240x240 px, Axial plane, Head, Slice index 89
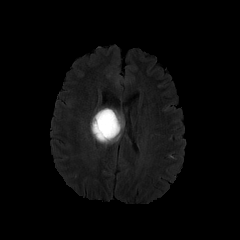
FLAIR magnetic resonance.
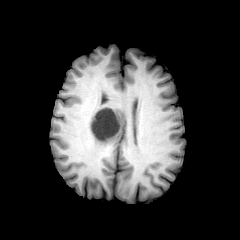
T1-weighted MR image.
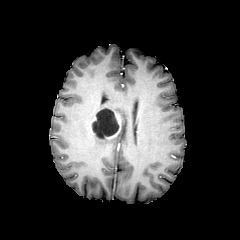
Post-contrast T1-weighted MR image.
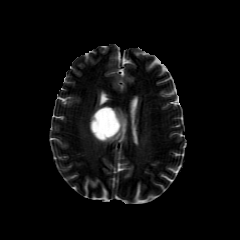
T2-weighted magnetic resonance.
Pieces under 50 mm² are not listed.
{"peritumoral_edema": ["(left=92, top=107, right=124, bottom=144)"], "necrotic_tumor_core": ["(left=92, top=108, right=118, bottom=138)"], "enhancing_tumor": ["(left=90, top=115, right=96, bottom=135)", "(left=98, top=111, right=121, bottom=140)"]}